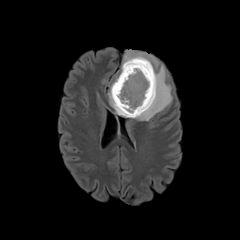
FLAIR MR.
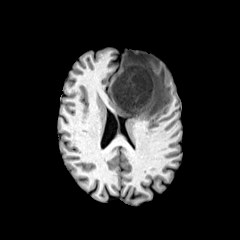
T1-weighted MRI.
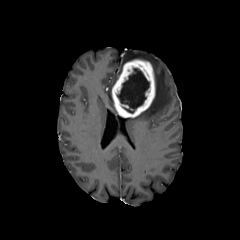
Post-contrast T1-weighted magnetic resonance.
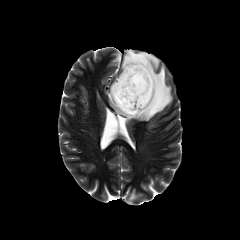
T2-weighted MRI.
Axial slice. Head. Image size 240x240.
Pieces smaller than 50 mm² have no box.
necrotic tumor core: (x1=117, y1=68, x2=149, y2=113)
enhancing tumor: (x1=112, y1=59, x2=155, y2=117)
peritumoral edema: (x1=108, y1=77, x2=117, y2=113), (x1=121, y1=50, x2=172, y2=120)